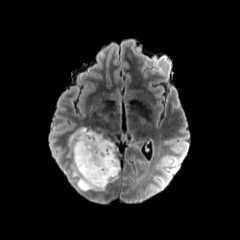
FLAIR MRI.
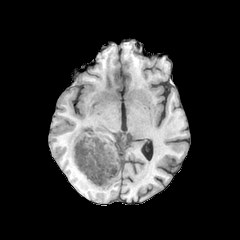
T1-weighted MRI.
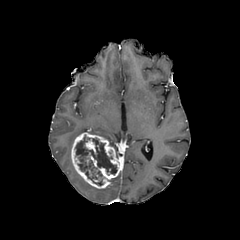
Same slice, post-contrast T1-weighted MR.
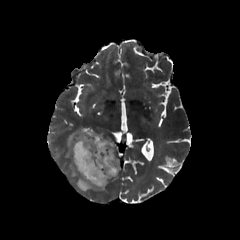
T2-weighted MRI of the same slice.
Brain; 240x240
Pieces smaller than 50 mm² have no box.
necrotic tumor core = (75,135,117,185)
peritumoral edema = (72,164,105,190), (67,127,87,157)
enhancing tumor = (71,130,120,188)